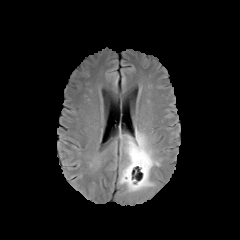
FLAIR MRI.
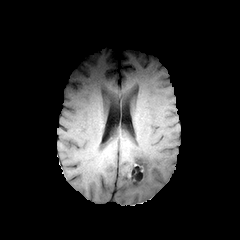
Same slice, T1-weighted MR image.
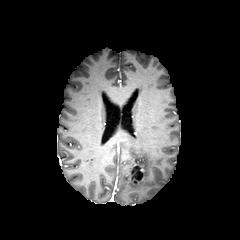
Post-contrast T1-weighted MRI.
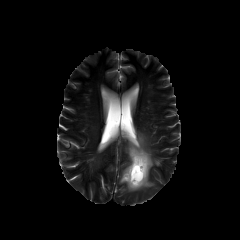
T2-weighted MR of the same slice.
Axial view
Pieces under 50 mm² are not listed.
enhancing tumor: [130,164,140,184]
necrotic tumor core: [131,166,142,183]
peritumoral edema: [119,131,159,191]